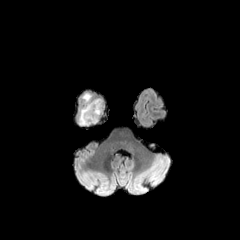
FLAIR magnetic resonance.
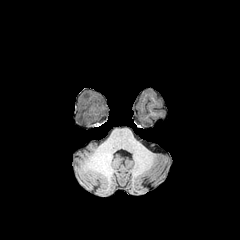
T1-weighted MR image.
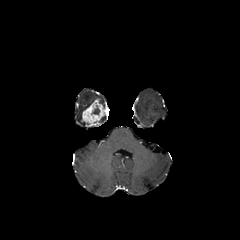
Same slice, post-contrast T1-weighted MRI.
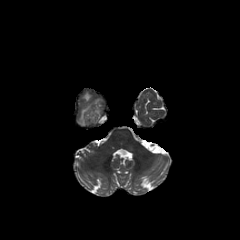
T2-weighted MR of the same slice.
Image size 240x240 | Axial slice | Brain
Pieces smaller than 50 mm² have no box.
peritumoral_edema:
  - (77,92,105,126)
necrotic_tumor_core:
  - (88,101,100,116)
enhancing_tumor:
  - (81,99,103,126)